Slice 80/155. Axial plane.
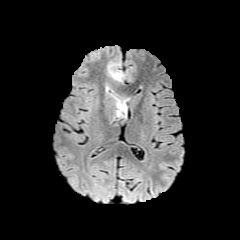
FLAIR MRI.
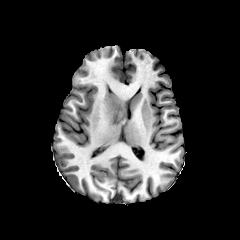
T1-weighted MR of the same slice.
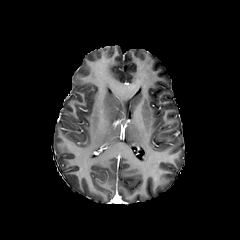
Post-contrast T1-weighted MR of the same slice.
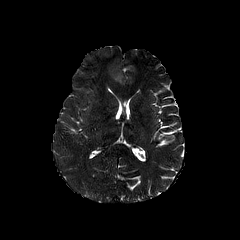
T2-weighted magnetic resonance.
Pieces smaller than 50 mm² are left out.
peritumoral_edema:
  - box(116, 100, 125, 111)
  - box(108, 65, 123, 81)